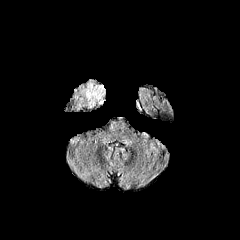
FLAIR MR.
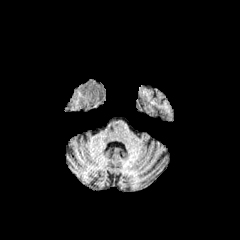
T1-weighted magnetic resonance of the same slice.
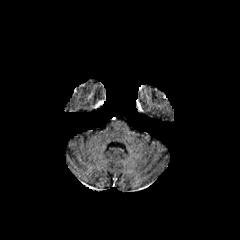
Post-contrast T1-weighted MR image of the same slice.
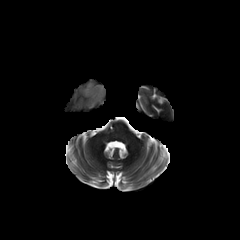
T2-weighted magnetic resonance of the same slice.
Axial slice. 240x240 px.
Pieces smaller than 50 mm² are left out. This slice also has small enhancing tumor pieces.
<segmentation>
  <peritumoral_edema>[83,82,104,106]</peritumoral_edema>
</segmentation>